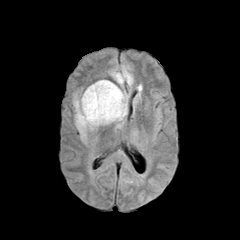
FLAIR MRI.
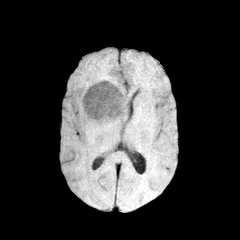
T1-weighted MR image.
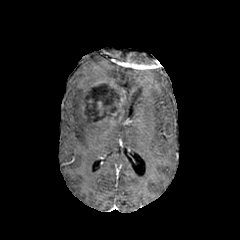
Post-contrast T1-weighted magnetic resonance of the same slice.
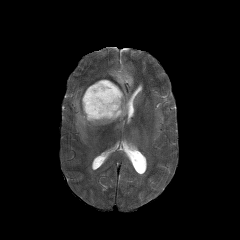
T2-weighted MR of the same slice.
Image size 240x240 | Axial plane
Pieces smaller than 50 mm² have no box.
necrotic tumor core — [85, 83, 121, 121]
peritumoral edema — [73, 85, 111, 139], [109, 66, 133, 127]
enhancing tumor — [83, 80, 125, 123]